FLAIR magnetic resonance.
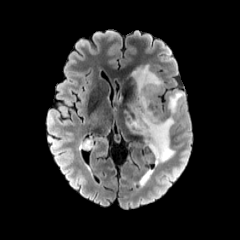
T1-weighted MRI.
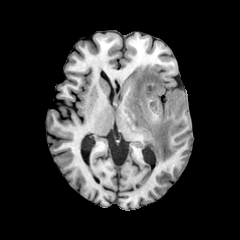
Post-contrast T1-weighted MRI.
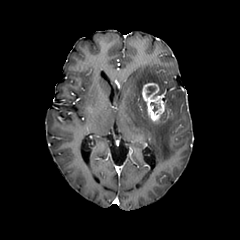
T2-weighted MRI.
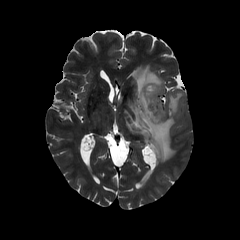
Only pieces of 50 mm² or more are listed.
{"enhancing_tumor": [{"x1": 142, "y1": 83, "x2": 164, "y2": 122}], "peritumoral_edema": [{"x1": 126, "y1": 64, "x2": 184, "y2": 165}], "necrotic_tumor_core": [{"x1": 147, "y1": 86, "x2": 155, "y2": 95}]}